FLAIR MRI.
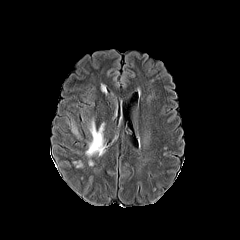
T1-weighted MRI.
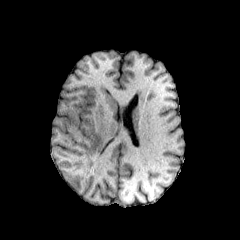
Post-contrast T1-weighted MRI.
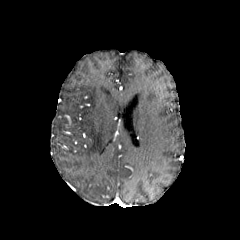
T2-weighted MRI.
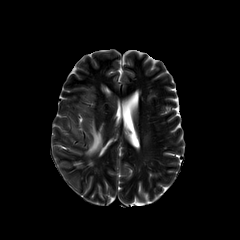
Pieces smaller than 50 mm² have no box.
The largest peritumoral edema region is located at x1=85 y1=118 x2=105 y2=157.